FLAIR MR image.
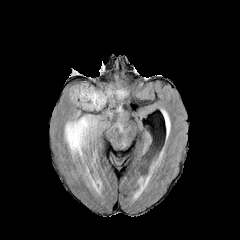
T1-weighted magnetic resonance.
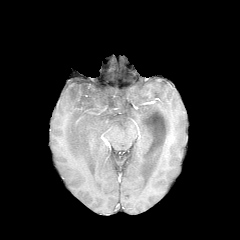
Post-contrast T1-weighted MR image.
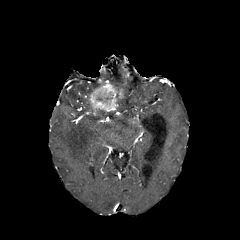
T2-weighted MR.
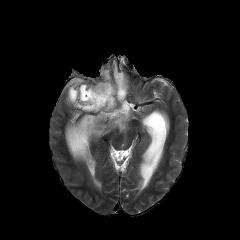
Axial plane. Brain.
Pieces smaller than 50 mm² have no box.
Findings:
• peritumoral edema: (115, 106, 122, 120), (65, 114, 101, 161), (69, 85, 93, 111)
• enhancing tumor: (84, 81, 124, 112)